Brain | Image width 240 mm
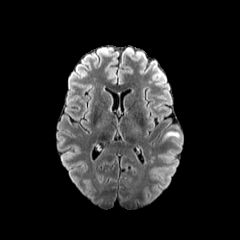
FLAIR MRI.
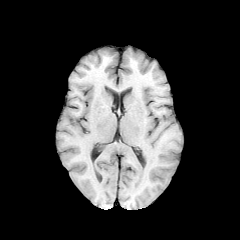
T1-weighted magnetic resonance.
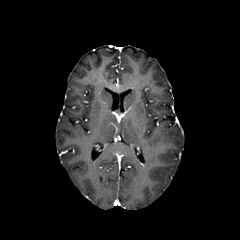
Post-contrast T1-weighted MR of the same slice.
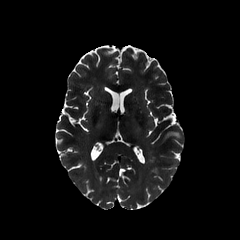
T2-weighted magnetic resonance of the same slice.
peritumoral edema: [164, 131, 179, 138]